Brain. Slice 123/155.
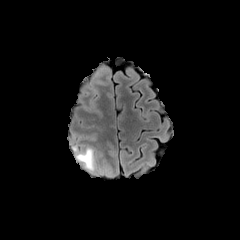
FLAIR MRI.
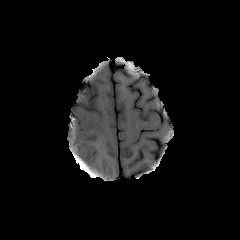
T1-weighted MR image.
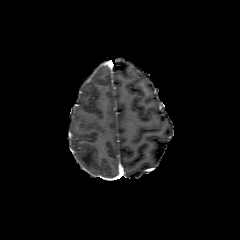
Post-contrast T1-weighted magnetic resonance of the same slice.
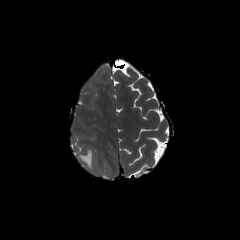
T2-weighted MRI.
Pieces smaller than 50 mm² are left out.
peritumoral_edema:
  - l=77, t=147, r=94, b=171